FLAIR MR image.
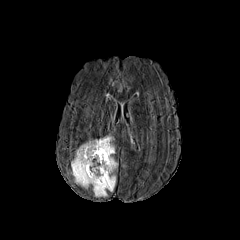
T1-weighted MR image.
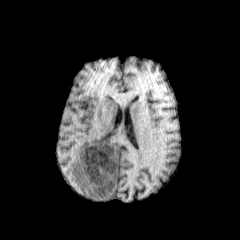
Post-contrast T1-weighted MR.
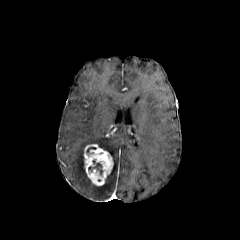
T2-weighted MRI.
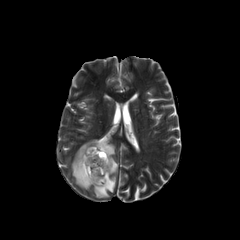
Brain; Axial slice
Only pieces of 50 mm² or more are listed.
necrotic tumor core: bounding box (x1=93, y1=163, x2=102, y2=174)
enhancing tumor: bounding box (x1=83, y1=144, x2=113, y2=185)
peritumoral edema: bounding box (x1=71, y1=137, x2=117, y2=197)